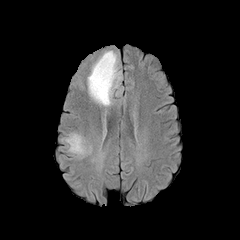
FLAIR magnetic resonance.
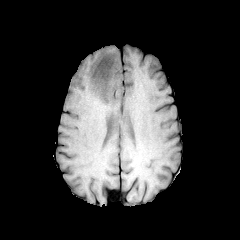
Same slice, T1-weighted MR image.
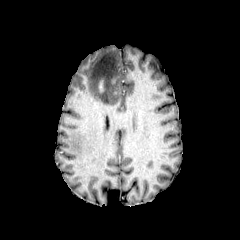
Same slice, post-contrast T1-weighted MR.
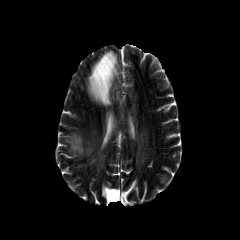
Same slice, T2-weighted MR.
Brain | Axial slice
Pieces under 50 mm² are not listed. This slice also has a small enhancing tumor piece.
The peritumoral edema is at rect(87, 50, 120, 106).